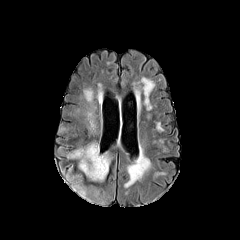
FLAIR MR image.
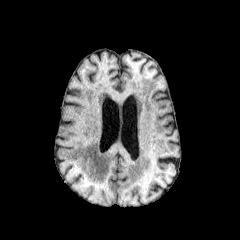
T1-weighted MR.
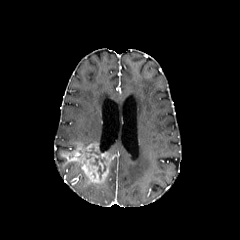
Post-contrast T1-weighted MRI.
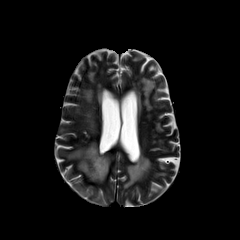
Same slice, T2-weighted MR image.
Brain | Axial view
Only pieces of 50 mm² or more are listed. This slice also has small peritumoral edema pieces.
necrotic tumor core at (92,157,106,177)
enhancing tumor at (58,143,111,184)